Slice index 47. Brain. Image width 240 mm, 1.00 mm slice spacing.
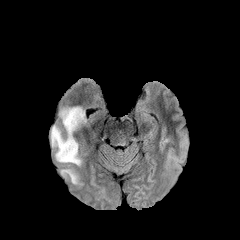
FLAIR MR.
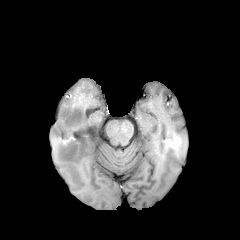
T1-weighted MRI of the same slice.
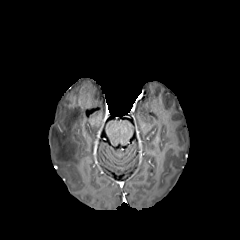
Post-contrast T1-weighted magnetic resonance.
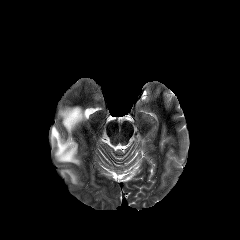
T2-weighted magnetic resonance.
peritumoral edema at bbox=[61, 169, 77, 183]; bbox=[51, 106, 85, 165]